Image width 240 mm, 1.00 mm slice spacing, Axial slice, Head
FLAIR MR.
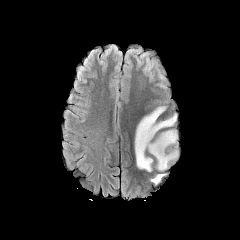
T1-weighted MR image.
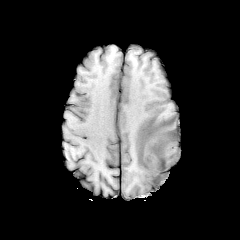
Post-contrast T1-weighted magnetic resonance.
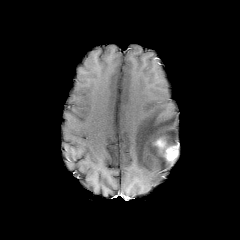
T2-weighted MR image.
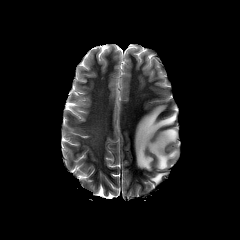
2 peritumoral edema regions are bounded by {"x1": 135, "y1": 106, "x2": 177, "y2": 171}, {"x1": 150, "y1": 173, "x2": 166, "y2": 184}. The enhancing tumor appears at {"x1": 153, "y1": 137, "x2": 178, "y2": 162}.